FLAIR MRI.
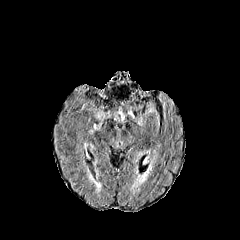
T1-weighted magnetic resonance.
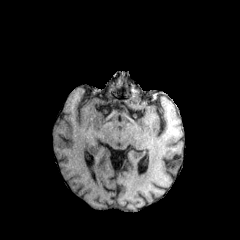
Post-contrast T1-weighted magnetic resonance.
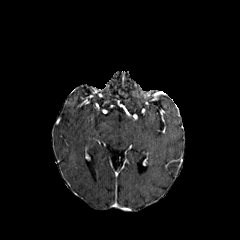
T2-weighted magnetic resonance.
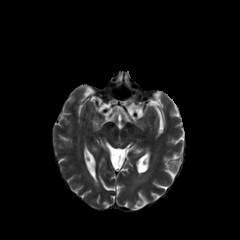
Head, Axial view
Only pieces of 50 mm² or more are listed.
The largest peritumoral edema region is at rect(93, 122, 102, 129).